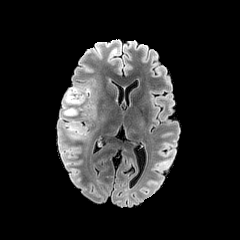
FLAIR MRI.
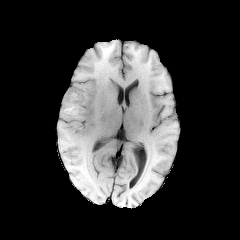
Same slice, T1-weighted MRI.
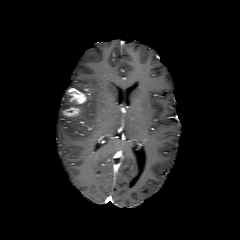
Post-contrast T1-weighted MR image.
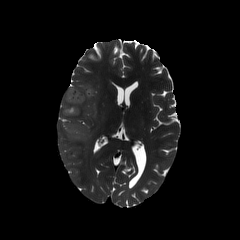
T2-weighted MRI.
Axial plane
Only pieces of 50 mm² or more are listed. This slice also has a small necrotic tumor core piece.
enhancing tumor: box=[63, 88, 86, 116] | peritumoral edema: box=[62, 93, 74, 110]; box=[63, 122, 86, 139]; box=[71, 87, 92, 98]